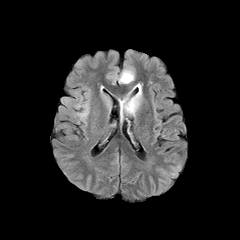
FLAIR MR.
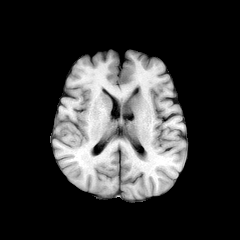
T1-weighted MR.
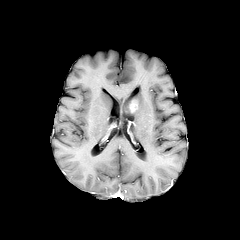
Post-contrast T1-weighted magnetic resonance.
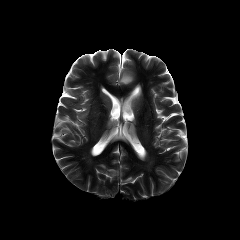
T2-weighted MR image of the same slice.
Axial slice
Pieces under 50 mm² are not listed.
Findings:
- enhancing tumor: {"x1": 127, "y1": 100, "x2": 137, "y2": 112}
- peritumoral edema: {"x1": 119, "y1": 84, "x2": 141, "y2": 115}, {"x1": 119, "y1": 70, "x2": 134, "y2": 83}